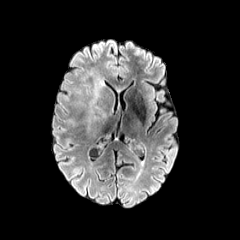
FLAIR MR.
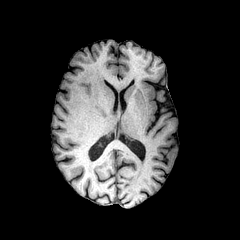
T1-weighted MR image.
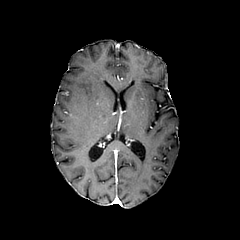
Post-contrast T1-weighted magnetic resonance.
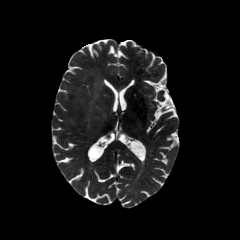
T2-weighted MR of the same slice.
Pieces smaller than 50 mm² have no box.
{"peritumoral_edema": ["(72,67,106,134)"]}